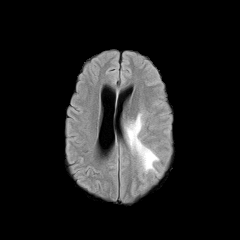
FLAIR MRI.
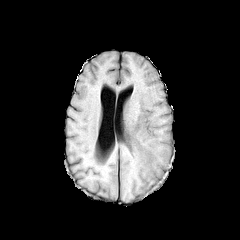
Same slice, T1-weighted MR.
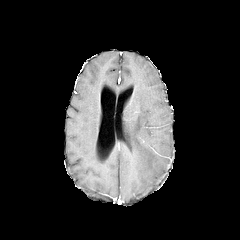
Post-contrast T1-weighted MR image of the same slice.
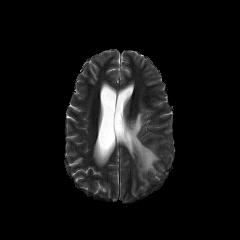
T2-weighted magnetic resonance.
peritumoral edema — bbox=[125, 113, 158, 172]